Head; Image width 240 mm, 1.00 mm slice spacing
FLAIR magnetic resonance.
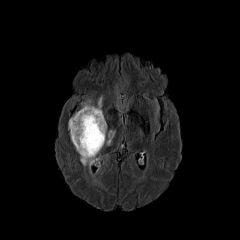
T1-weighted MR image.
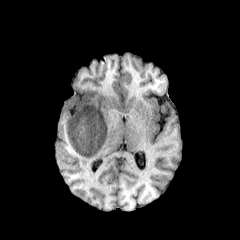
Post-contrast T1-weighted MRI.
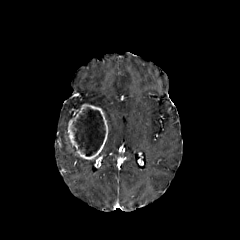
T2-weighted MR image.
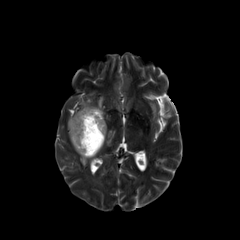
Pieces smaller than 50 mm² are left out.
The 2 largest peritumoral edema regions are located at x1=80, y1=157, x2=98, y2=169; x1=106, y1=130, x2=115, y2=145. The enhancing tumor appears at x1=68, y1=103, x2=108, y2=159. The necrotic tumor core is bounded by x1=73, y1=108, x2=105, y2=156.